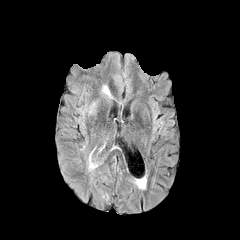
FLAIR MR.
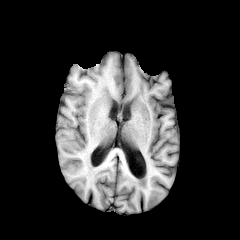
Same slice, T1-weighted MRI.
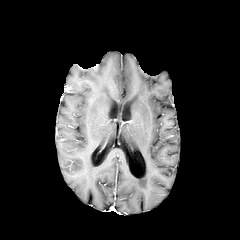
Same slice, post-contrast T1-weighted magnetic resonance.
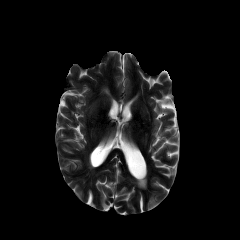
T2-weighted MR.
Axial view
- peritumoral edema: <box>102,86,110,96</box>